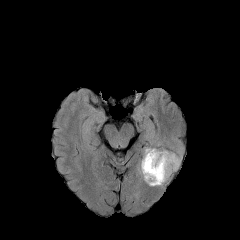
FLAIR magnetic resonance.
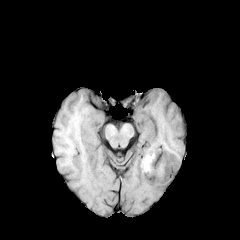
T1-weighted MR of the same slice.
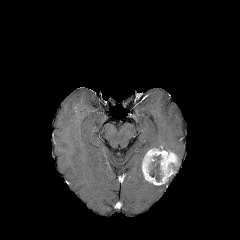
Post-contrast T1-weighted MRI.
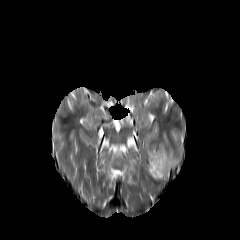
T2-weighted MRI.
Brain
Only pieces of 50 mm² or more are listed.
Segmented structures:
* enhancing tumor: region(142, 148, 179, 185)
* peritumoral edema: region(138, 159, 155, 186); region(177, 147, 182, 163)
* necrotic tumor core: region(149, 155, 161, 181)